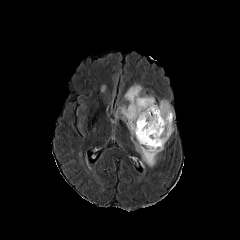
FLAIR MR.
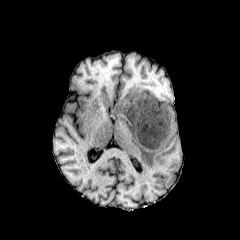
T1-weighted magnetic resonance.
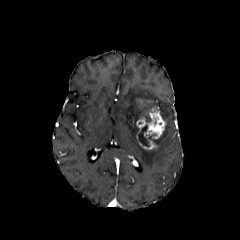
Post-contrast T1-weighted magnetic resonance.
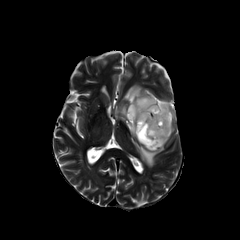
T2-weighted MR of the same slice.
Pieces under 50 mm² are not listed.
The peritumoral edema lies within (115,84,174,166). 2 enhancing tumor regions appear at (137,99,152,108), (136,105,166,149). The largest necrotic tumor core region appears at (138,125,148,146).